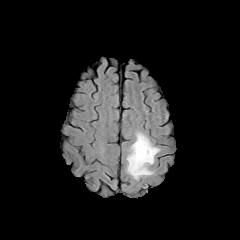
FLAIR magnetic resonance.
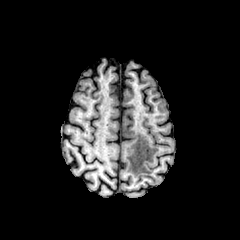
Same slice, T1-weighted magnetic resonance.
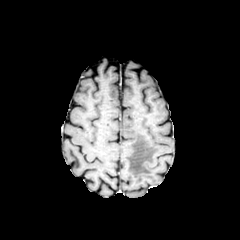
Post-contrast T1-weighted MR image.
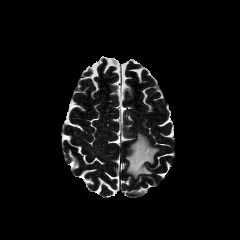
Same slice, T2-weighted MR image.
Brain
peritumoral edema: bounding box (126, 132, 159, 179)